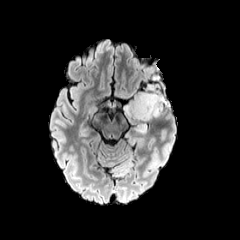
FLAIR magnetic resonance.
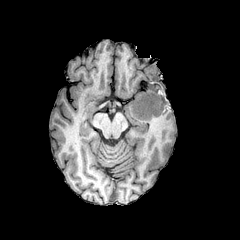
T1-weighted MR image.
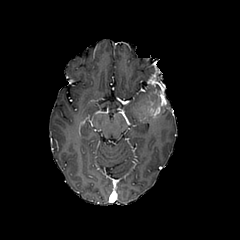
Post-contrast T1-weighted MRI.
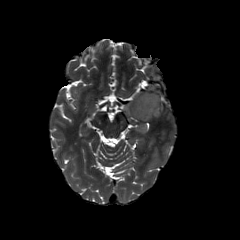
T2-weighted MR image.
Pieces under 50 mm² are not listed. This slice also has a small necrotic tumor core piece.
2 peritumoral edema regions are located at (123, 92, 152, 125), (135, 124, 147, 132). The largest enhancing tumor region is at (133, 91, 164, 119).